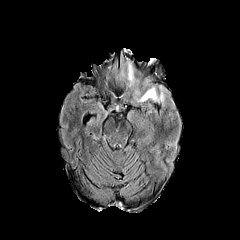
FLAIR MRI.
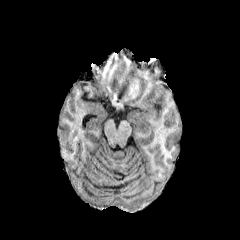
T1-weighted magnetic resonance.
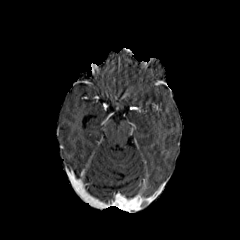
Post-contrast T1-weighted MR image.
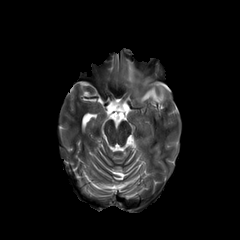
Same slice, T2-weighted magnetic resonance.
Brain; 240x240 px
Findings:
* peritumoral edema: <bbox>136, 85, 168, 106</bbox>, <bbox>127, 62, 134, 82</bbox>